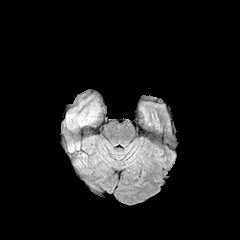
FLAIR magnetic resonance.
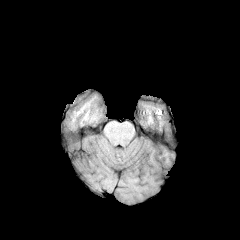
T1-weighted MR image of the same slice.
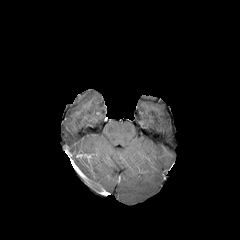
Post-contrast T1-weighted MR image.
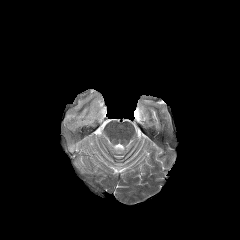
T2-weighted MR image of the same slice.
Axial plane
peritumoral_edema:
  - x1=65, y1=90, x2=100, y2=128
  - x1=69, y1=143, x2=79, y2=151